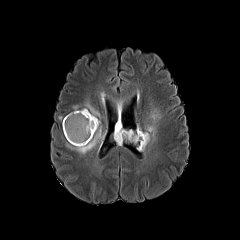
FLAIR MR.
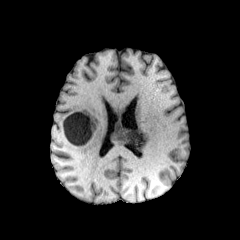
T1-weighted MR.
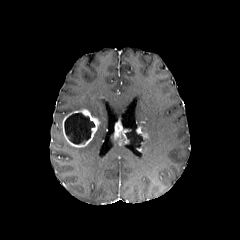
Post-contrast T1-weighted magnetic resonance.
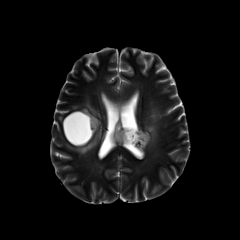
T2-weighted MR image of the same slice.
Head | Axial plane | Image size 240x240
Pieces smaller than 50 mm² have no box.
The 4 largest peritumoral edema regions appear at x1=117, y1=102, x2=121, y2=119; x1=66, y1=123, x2=105, y2=154; x1=142, y1=110, x2=160, y2=150; x1=83, y1=102, x2=100, y2=118. 2 necrotic tumor core regions are located at x1=64, y1=113, x2=94, y2=144; x1=125, y1=131, x2=144, y2=148. The 3 largest enhancing tumor regions are bounded by x1=137, y1=127, x2=148, y2=146; x1=114, y1=122, x2=130, y2=144; x1=62, y1=109, x2=100, y2=147.